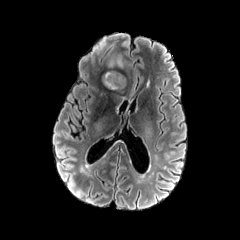
FLAIR MR.
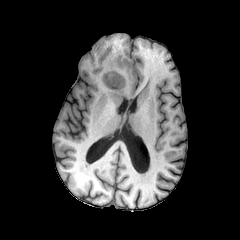
T1-weighted MR image.
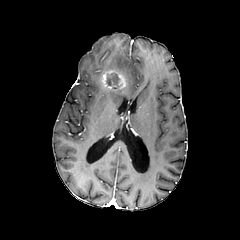
Post-contrast T1-weighted MR image.
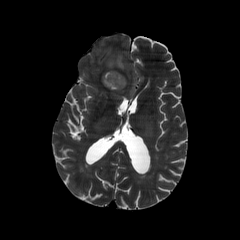
T2-weighted MRI.
Head, Axial plane
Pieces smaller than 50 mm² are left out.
necrotic tumor core: x1=107, y1=74, x2=118, y2=85 | peritumoral edema: x1=109, y1=55, x2=123, y2=67 | enhancing tumor: x1=101, y1=70, x2=126, y2=90